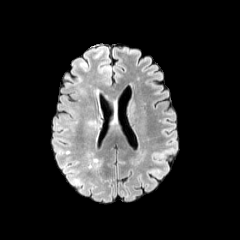
FLAIR MR image.
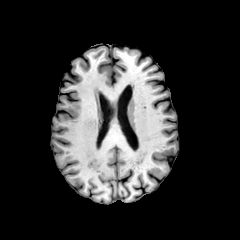
T1-weighted MR of the same slice.
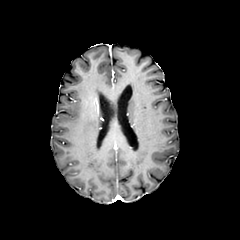
Same slice, post-contrast T1-weighted MRI.
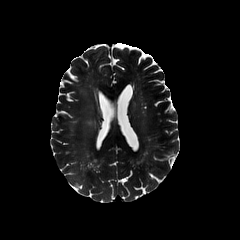
T2-weighted magnetic resonance.
peritumoral_edema:
  - box(78, 88, 87, 97)
  - box(85, 117, 99, 127)